Axial view, Image width 240 mm, Image size 240x240
FLAIR MR image.
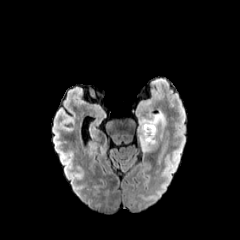
T1-weighted MRI.
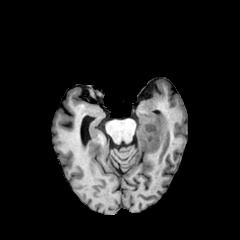
Post-contrast T1-weighted MR image.
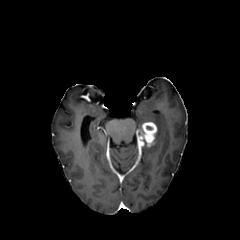
T2-weighted MRI.
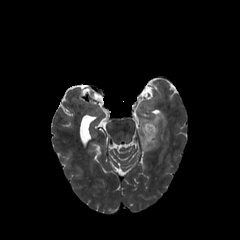
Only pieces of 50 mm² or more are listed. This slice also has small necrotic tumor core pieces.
peritumoral edema = x1=138, y1=114, x2=165, y2=151
enhancing tumor = x1=137, y1=122, x2=157, y2=147